FLAIR MRI.
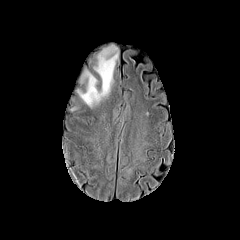
T1-weighted magnetic resonance.
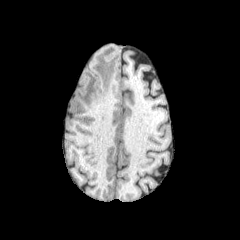
Post-contrast T1-weighted MR image.
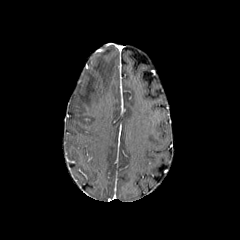
T2-weighted MR.
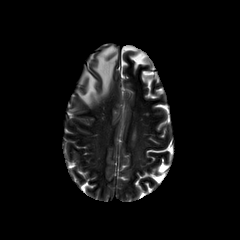
240x240. Axial view. Brain.
peritumoral edema: (77, 46, 118, 106)